FLAIR MRI.
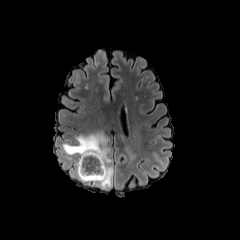
T1-weighted MR image.
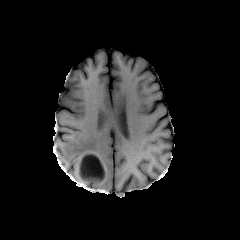
Post-contrast T1-weighted MRI.
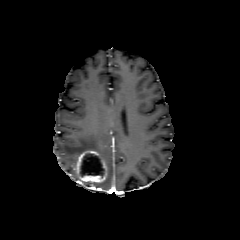
T2-weighted MRI.
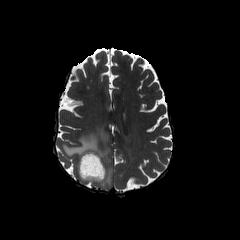
Axial slice
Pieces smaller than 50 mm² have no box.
enhancing tumor = (x1=76, y1=150, x2=106, y2=182)
peritumoral edema = (x1=125, y1=145, x2=136, y2=162), (x1=62, y1=131, x2=113, y2=188)
necrotic tumor core = (x1=80, y1=153, x2=104, y2=177)